Axial plane | Brain
FLAIR MR.
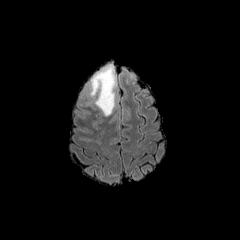
T1-weighted MR image.
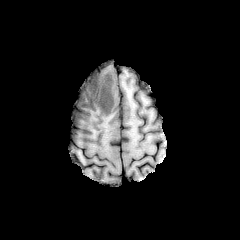
Post-contrast T1-weighted MRI.
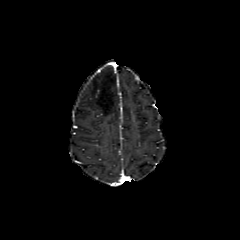
T2-weighted MR image.
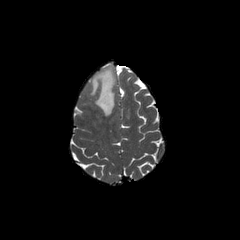
Annotated regions:
• peritumoral edema: box(89, 65, 116, 116)